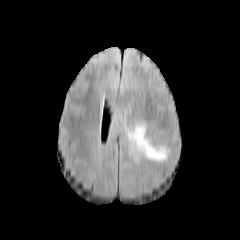
FLAIR magnetic resonance.
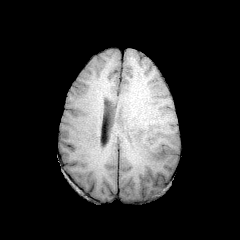
T1-weighted MR.
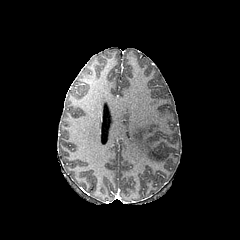
Post-contrast T1-weighted MR image of the same slice.
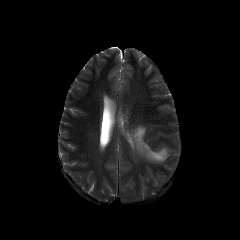
Same slice, T2-weighted MR.
Image size 240x240
The peritumoral edema is located at x1=127 y1=124 x2=168 y2=162.